240x240 px, Head
FLAIR MRI.
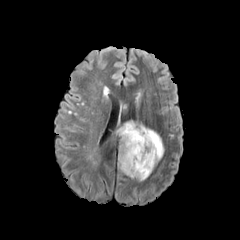
T1-weighted MR.
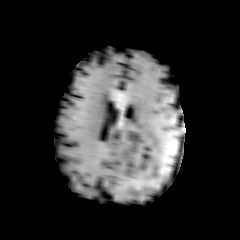
Post-contrast T1-weighted MR image.
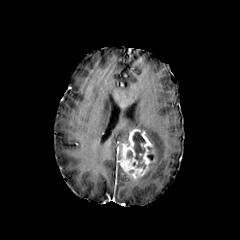
T2-weighted MR image.
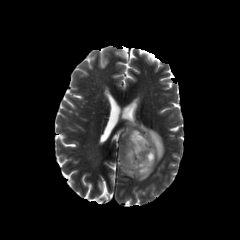
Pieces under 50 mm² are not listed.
peritumoral_edema:
  - <box>137,166,154,181</box>
  - <box>117,121,164,165</box>
enhancing_tumor:
  - <box>118,129,157,179</box>
necrotic_tumor_core:
  - <box>133,132,144,162</box>